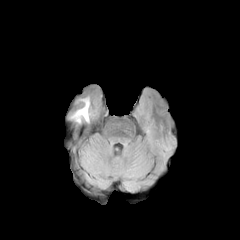
FLAIR magnetic resonance.
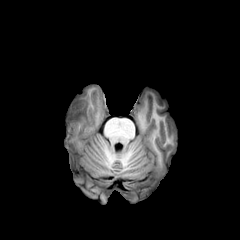
T1-weighted MR.
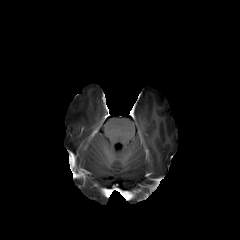
Post-contrast T1-weighted magnetic resonance.
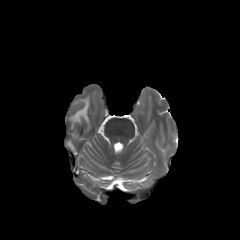
T2-weighted MRI.
Axial view. Brain. Image size 240x240.
The peritumoral edema appears at 72,98,89,123.